FLAIR MRI.
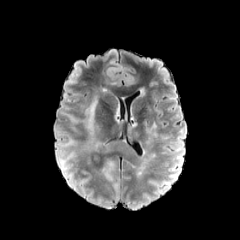
T1-weighted MR image.
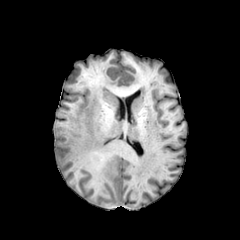
Post-contrast T1-weighted MR image.
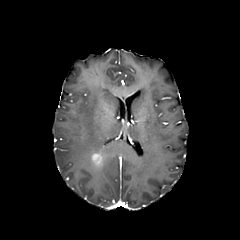
T2-weighted MRI.
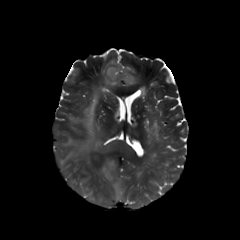
Axial plane
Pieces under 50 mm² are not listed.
enhancing tumor: 92, 154, 101, 165
peritumoral edema: 57, 151, 74, 174; 128, 127, 139, 141; 69, 96, 101, 150; 102, 160, 115, 180; 61, 138, 74, 146